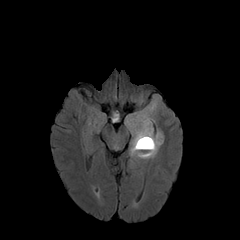
FLAIR MR.
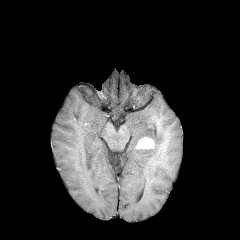
T1-weighted MR image of the same slice.
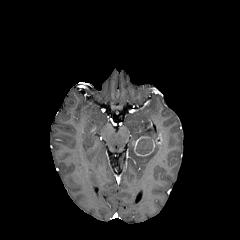
Same slice, post-contrast T1-weighted MRI.
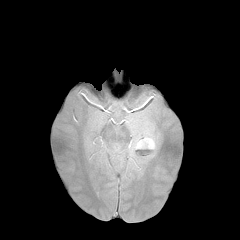
T2-weighted magnetic resonance.
Head | 240x240 | Axial slice
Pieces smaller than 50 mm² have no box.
enhancing tumor: 132 136 154 155 | necrotic tumor core: 136 138 152 154 | peritumoral edema: 125 97 163 159